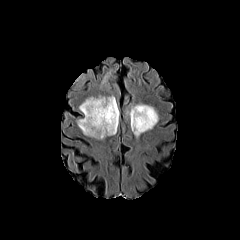
FLAIR magnetic resonance.
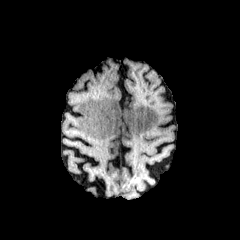
T1-weighted magnetic resonance.
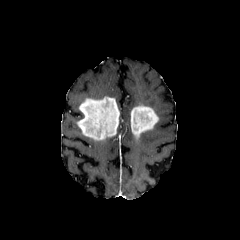
Same slice, post-contrast T1-weighted MR.
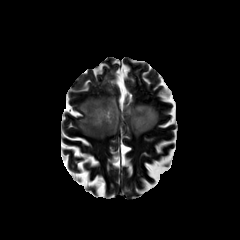
T2-weighted MR.
Axial view | Head
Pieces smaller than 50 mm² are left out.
peritumoral edema: bounding box (101, 70, 111, 89), (126, 103, 143, 117)
enhancing tumor: bounding box (77, 96, 119, 140), (130, 105, 158, 138)